FLAIR MRI.
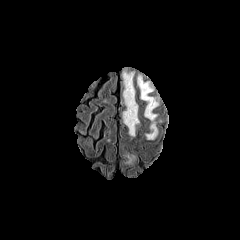
T1-weighted MRI.
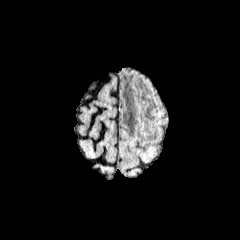
Post-contrast T1-weighted MR image.
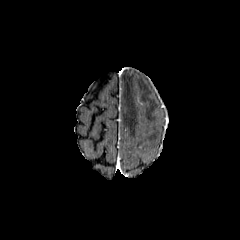
T2-weighted MR.
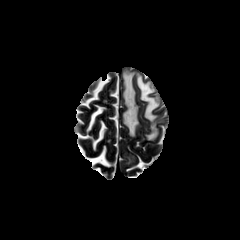
Axial plane
Segmented structures:
- peritumoral edema: (137,75,158,139), (125,154,135,164), (123,71,139,136)